Head
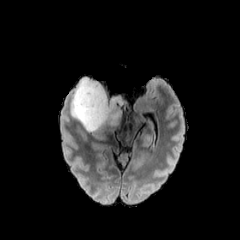
FLAIR MR.
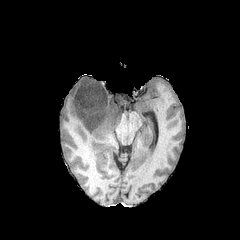
T1-weighted MR of the same slice.
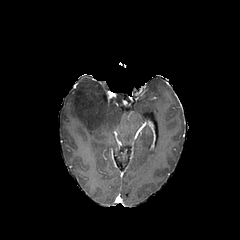
Same slice, post-contrast T1-weighted MRI.
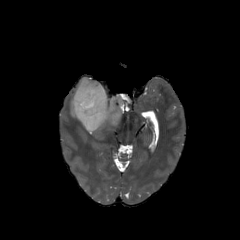
T2-weighted magnetic resonance of the same slice.
<segmentation>
  <peritumoral_edema>(x1=71, y1=76, x2=124, y2=135)</peritumoral_edema>
</segmentation>